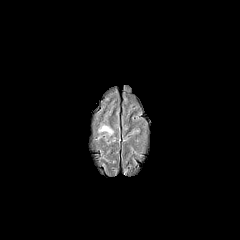
FLAIR magnetic resonance.
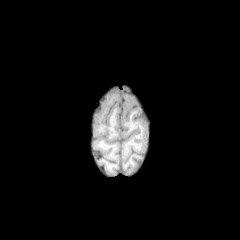
T1-weighted magnetic resonance of the same slice.
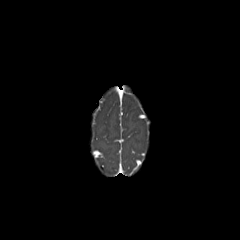
Post-contrast T1-weighted magnetic resonance of the same slice.
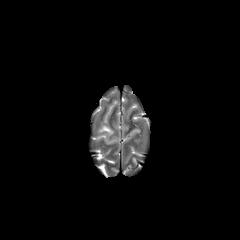
T2-weighted magnetic resonance.
Head
The peritumoral edema is at 99:126:112:134.